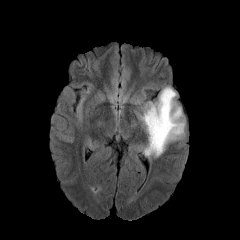
FLAIR MR.
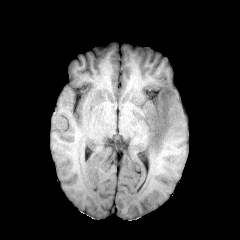
T1-weighted MRI.
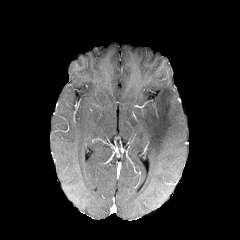
Post-contrast T1-weighted MR.
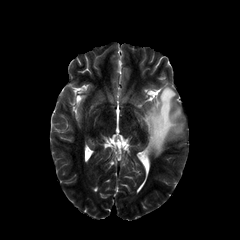
T2-weighted MR of the same slice.
Head. Axial plane.
peritumoral edema: 138 86 185 157